Image width 240 mm, 1.00 mm slice spacing | 240x240 px
FLAIR MRI.
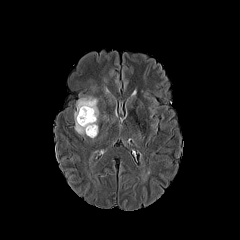
T1-weighted MRI.
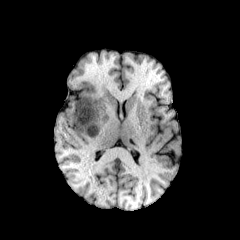
Post-contrast T1-weighted magnetic resonance.
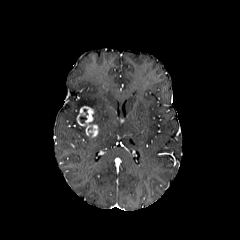
T2-weighted MR.
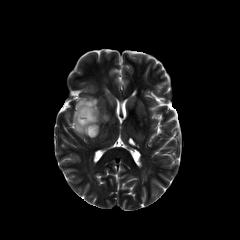
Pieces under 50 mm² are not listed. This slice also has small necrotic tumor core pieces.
2 peritumoral edema regions are located at 89:80:98:91, 74:96:99:135. The enhancing tumor lies within 76:106:98:137.